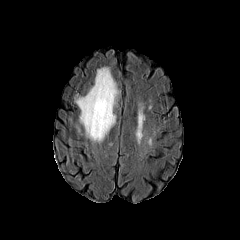
FLAIR magnetic resonance.
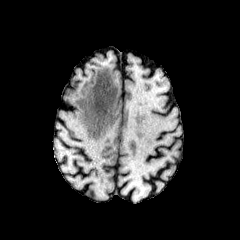
T1-weighted MR of the same slice.
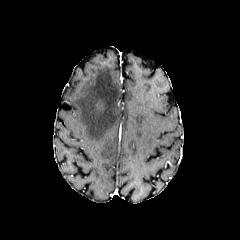
Post-contrast T1-weighted MRI.
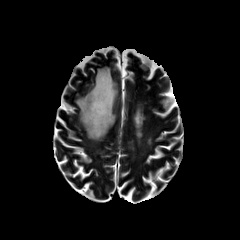
T2-weighted MR of the same slice.
Axial slice
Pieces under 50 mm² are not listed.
The largest peritumoral edema region is bounded by bbox(74, 66, 118, 142).